Brain; Axial view; Image width 240 mm, 1.00 mm slice spacing
FLAIR MRI.
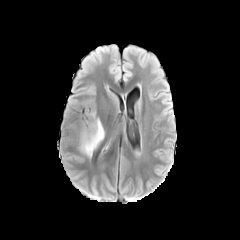
T1-weighted magnetic resonance.
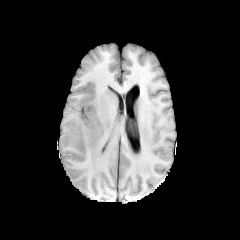
Post-contrast T1-weighted MR.
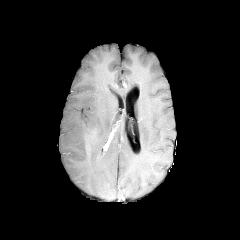
T2-weighted magnetic resonance.
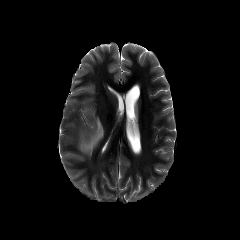
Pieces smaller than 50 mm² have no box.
peritumoral edema: 79 118 104 157 | enhancing tumor: 87 131 96 148